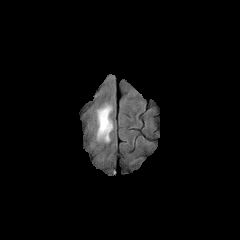
FLAIR MRI.
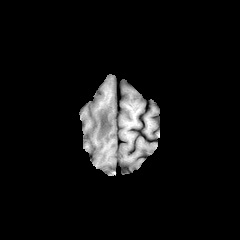
T1-weighted MR.
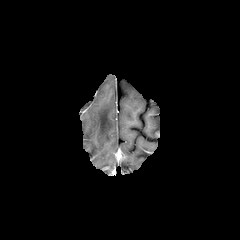
Post-contrast T1-weighted MR image of the same slice.
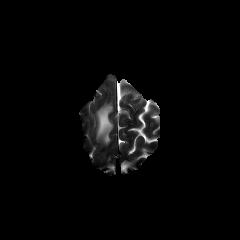
Same slice, T2-weighted magnetic resonance.
Head
Segmented structures:
• peritumoral edema: bbox(97, 103, 113, 142)